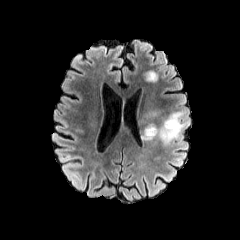
FLAIR magnetic resonance.
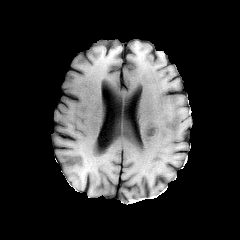
Same slice, T1-weighted MRI.
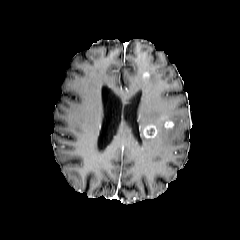
Post-contrast T1-weighted MRI of the same slice.
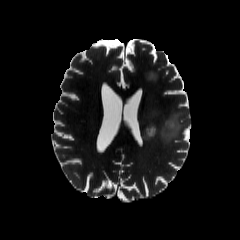
T2-weighted magnetic resonance of the same slice.
Head. Axial slice.
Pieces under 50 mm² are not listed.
2 peritumoral edema regions appear at (141, 110, 188, 144), (145, 71, 157, 81). The 2 largest enhancing tumor regions are bounded by (144, 125, 156, 138), (165, 121, 174, 128). The necrotic tumor core is at (146, 128, 154, 135).